FLAIR MR.
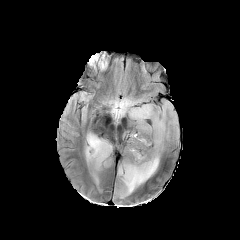
T1-weighted MRI.
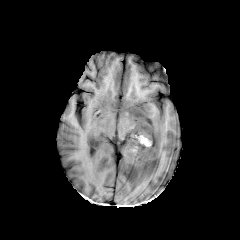
Post-contrast T1-weighted magnetic resonance.
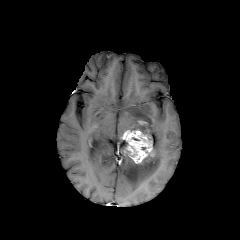
T2-weighted magnetic resonance.
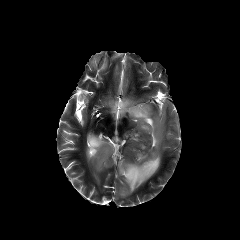
240x240
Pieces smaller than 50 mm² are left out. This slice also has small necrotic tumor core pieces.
The 2 largest peritumoral edema regions are bounded by x1=85 y1=132 x2=112 y2=169, x1=109 y1=97 x2=165 y2=196. The largest enhancing tumor region is bounded by x1=122 y1=130 x2=154 y2=163.